FLAIR MR.
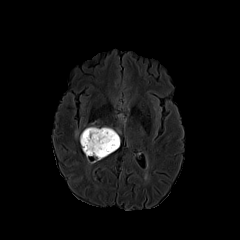
T1-weighted MR.
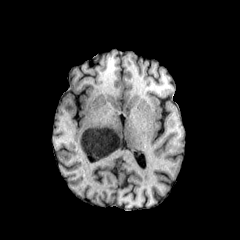
Post-contrast T1-weighted MR image.
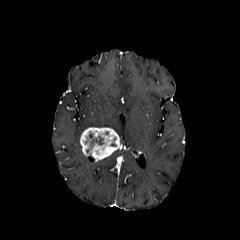
T2-weighted magnetic resonance.
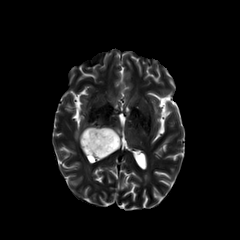
Axial plane | 240x240
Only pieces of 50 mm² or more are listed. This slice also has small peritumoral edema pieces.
The largest necrotic tumor core region is located at <box>90,136,103,148</box>. The enhancing tumor is at <box>80,127,120,164</box>.